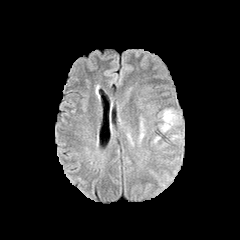
FLAIR magnetic resonance.
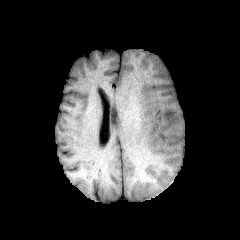
T1-weighted magnetic resonance of the same slice.
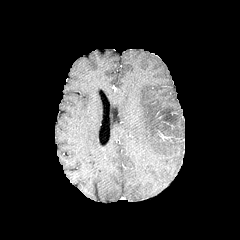
Same slice, post-contrast T1-weighted magnetic resonance.
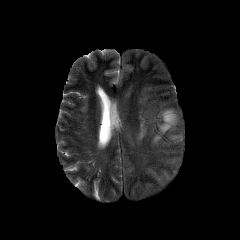
T2-weighted MRI.
240x240 px, Head
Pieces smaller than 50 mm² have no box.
The 2 largest peritumoral edema regions appear at <bbox>160, 109, 178, 132</bbox>, <bbox>139, 121, 144, 140</bbox>.